Axial plane | Image size 240x240 | Image width 240 mm, 1.00 mm slice spacing
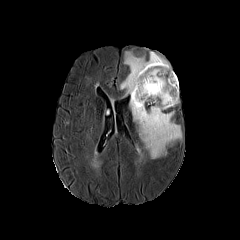
FLAIR MRI.
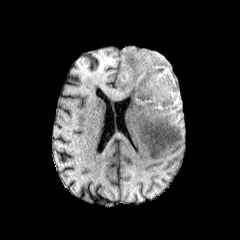
T1-weighted magnetic resonance.
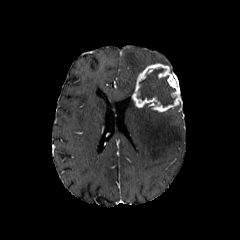
Post-contrast T1-weighted magnetic resonance.
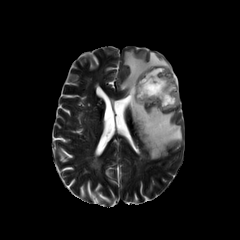
T2-weighted MR.
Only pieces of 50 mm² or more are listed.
Segmented structures:
- peritumoral edema: box(120, 51, 170, 96); box(129, 98, 182, 159)
- necrotic tumor core: box(137, 68, 175, 106)
- enhancing tumor: box(131, 63, 180, 112)